Axial view. Slice 67 of 155. 240x240 px.
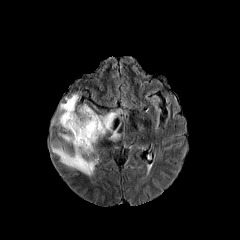
FLAIR magnetic resonance.
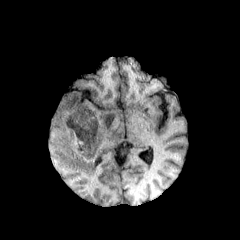
T1-weighted magnetic resonance of the same slice.
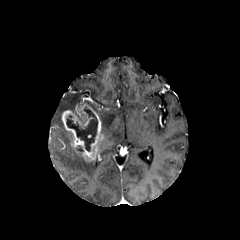
Post-contrast T1-weighted MR image.
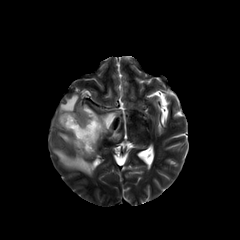
Same slice, T2-weighted MR image.
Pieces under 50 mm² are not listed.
necrotic tumor core: region(66, 107, 97, 151)
peritumoral edema: region(99, 111, 120, 140); region(58, 94, 79, 130); region(59, 133, 72, 142); region(52, 146, 96, 176)
enhancing tumor: region(61, 104, 103, 160)